240x240, Brain, Slice 61 of 155
FLAIR magnetic resonance.
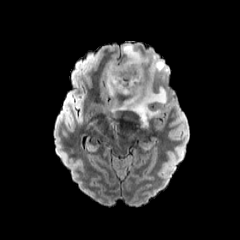
T1-weighted magnetic resonance.
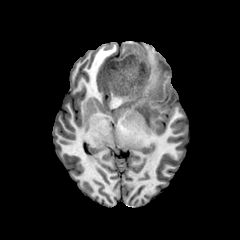
Post-contrast T1-weighted MR.
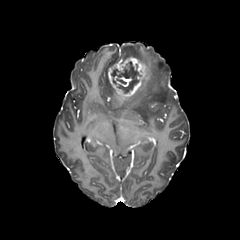
T2-weighted MR.
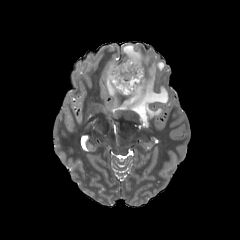
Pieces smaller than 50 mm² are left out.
Segmented structures:
- peritumoral edema: 122, 44, 147, 62; 105, 60, 116, 96; 118, 54, 168, 125
- necrotic tumor core: 111, 62, 138, 93
- enhancing tumor: 107, 56, 148, 97